Head | 240x240 | Axial plane | Slice 105 of 155 | Image width 240 mm, 1.00 mm slice spacing
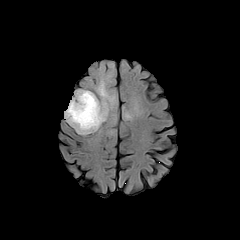
FLAIR MRI.
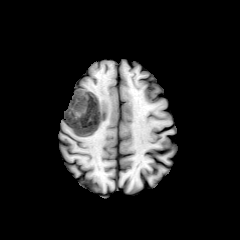
Same slice, T1-weighted MR image.
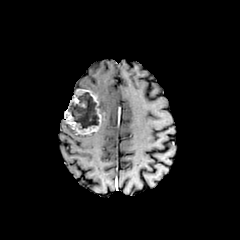
Post-contrast T1-weighted MR of the same slice.
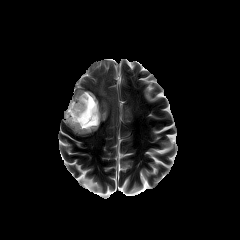
T2-weighted MRI.
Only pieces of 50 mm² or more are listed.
enhancing tumor: bounding box [64,89,102,134]
necrotic tumor core: bounding box [68,92,98,129]
peritumoral edema: bounding box [123,109,133,120], [95,76,116,122]